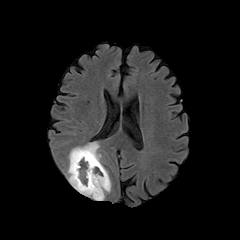
FLAIR MR image.
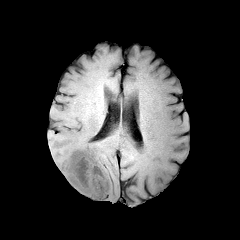
T1-weighted MR.
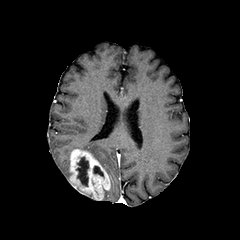
Post-contrast T1-weighted MRI.
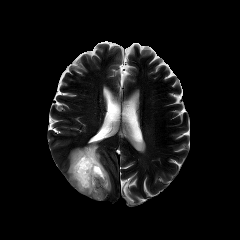
T2-weighted MRI.
Head; Axial slice
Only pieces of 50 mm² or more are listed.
necrotic tumor core: bbox=[93, 166, 103, 177]; bbox=[76, 156, 88, 186] | peritumoral edema: bbox=[67, 142, 101, 180] | enhancing tumor: bbox=[69, 149, 110, 200]